Brain | Axial view
FLAIR MRI.
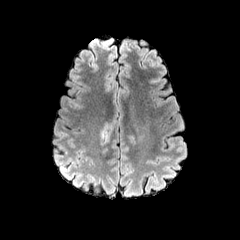
T1-weighted MRI.
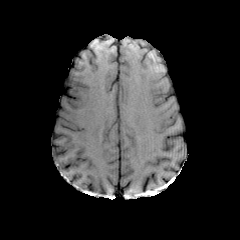
Post-contrast T1-weighted magnetic resonance.
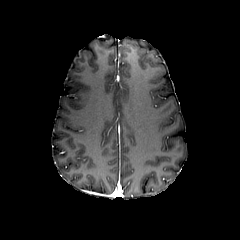
T2-weighted magnetic resonance.
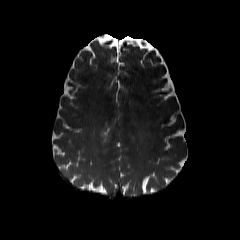
• peritumoral edema: (x1=101, y1=129, x2=108, y2=143)